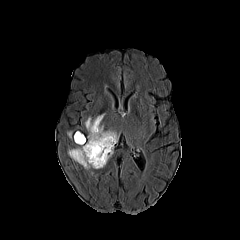
FLAIR magnetic resonance.
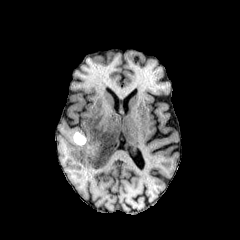
T1-weighted MRI of the same slice.
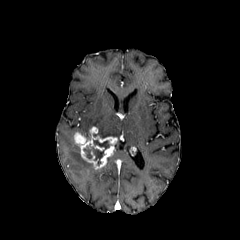
Post-contrast T1-weighted MR image of the same slice.
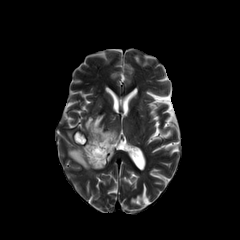
T2-weighted magnetic resonance.
Head, 240x240
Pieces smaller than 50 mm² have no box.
peritumoral edema: 85, 114, 118, 138; 68, 132, 93, 169 | necrotic tumor core: 83, 140, 109, 165 | enhancing tumor: 80, 127, 117, 169